Slice index 93. Axial view.
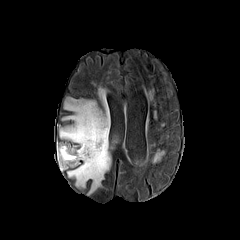
FLAIR MR.
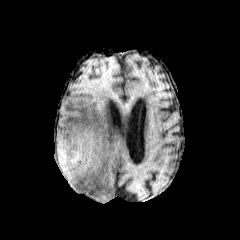
Same slice, T1-weighted magnetic resonance.
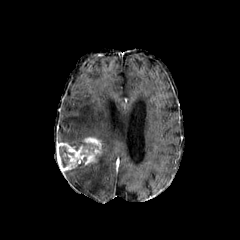
Post-contrast T1-weighted MR of the same slice.
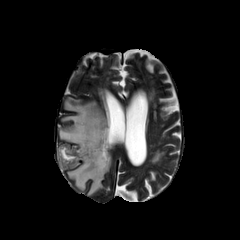
T2-weighted magnetic resonance.
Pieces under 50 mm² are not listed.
enhancing tumor: 58:137:102:171 | necrotic tumor core: 59:147:73:167 | peritumoral edema: 59:92:111:193